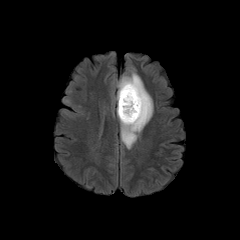
FLAIR MR.
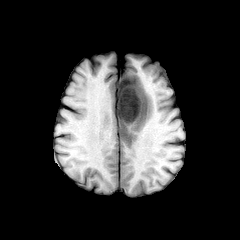
T1-weighted MRI of the same slice.
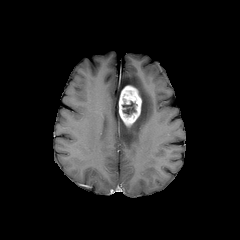
Post-contrast T1-weighted MR image of the same slice.
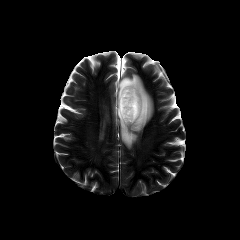
T2-weighted MRI.
Brain. 240x240. Axial view.
enhancing tumor: (left=119, top=85, right=141, bottom=126) | necrotic tumor core: (left=122, top=101, right=135, bottom=114) | peritumoral edema: (left=117, top=71, right=153, bottom=149)